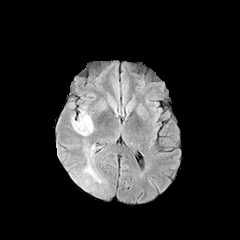
FLAIR MR image.
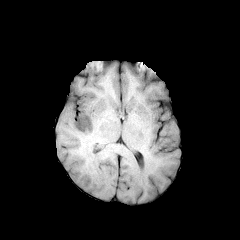
Same slice, T1-weighted MRI.
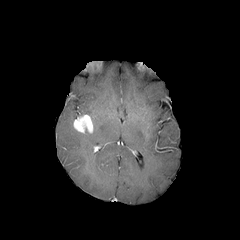
Same slice, post-contrast T1-weighted MR.
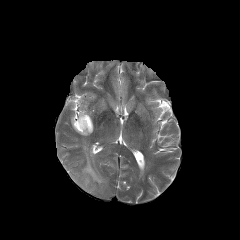
T2-weighted MRI.
Head, Axial view
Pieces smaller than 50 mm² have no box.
peritumoral_edema:
  - 78:144:104:191
  - 73:127:91:136
  - 79:106:90:116
enhancing_tumor:
  - 73:114:93:133